FLAIR MRI.
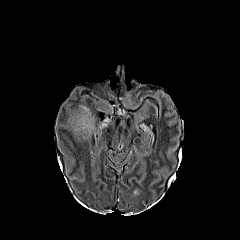
T1-weighted MRI.
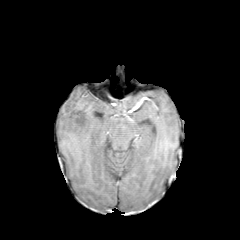
Post-contrast T1-weighted MRI.
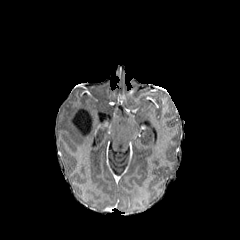
T2-weighted MR image.
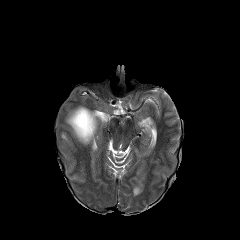
peritumoral edema: [68, 105, 95, 141]
necrotic tumor core: [71, 109, 92, 135]